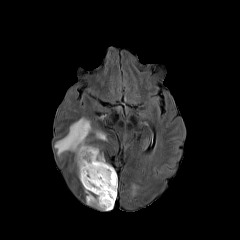
FLAIR MRI.
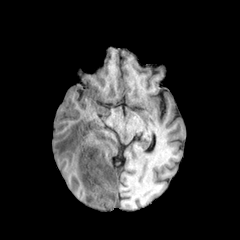
T1-weighted magnetic resonance.
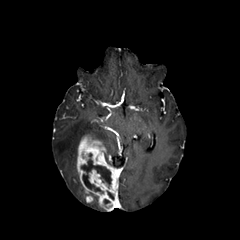
Post-contrast T1-weighted MR.
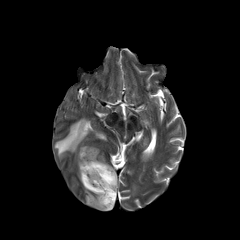
T2-weighted MR image of the same slice.
240x240.
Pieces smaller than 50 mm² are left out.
peritumoral_edema:
  - 54:117:92:164
  - 87:193:105:210
  - 94:131:106:140
necrotic_tumor_core:
  - 81:159:111:185
  - 82:174:103:193
enhancing_tumor:
  - 77:134:118:211